Slice index 65, Axial plane
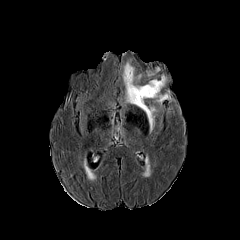
FLAIR magnetic resonance.
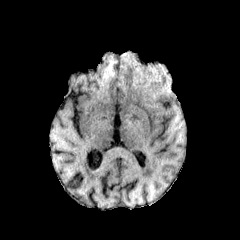
T1-weighted MR.
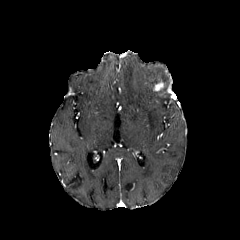
Same slice, post-contrast T1-weighted magnetic resonance.
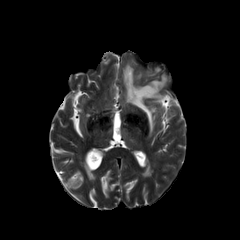
Same slice, T2-weighted MR.
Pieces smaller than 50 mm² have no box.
* enhancing tumor: [153, 80, 164, 91]
* peritumoral edema: [123, 62, 169, 132]